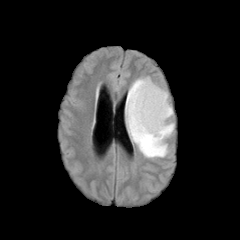
FLAIR MRI.
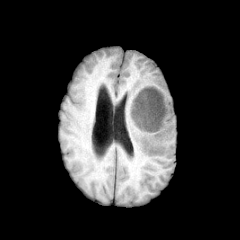
Same slice, T1-weighted magnetic resonance.
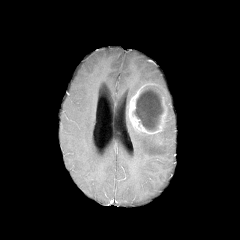
Same slice, post-contrast T1-weighted MRI.
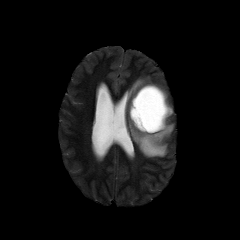
Same slice, T2-weighted MRI.
Axial plane. Image size 240x240. Head.
{"necrotic_tumor_core": ["<box>134,86,163,130</box>"], "peritumoral_edema": ["<box>125,76,174,158</box>"], "enhancing_tumor": ["<box>128,83,170,144</box>"]}